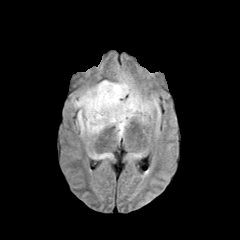
FLAIR MR image.
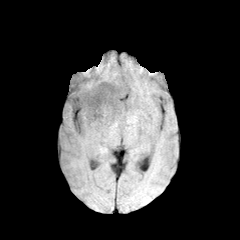
Same slice, T1-weighted MR image.
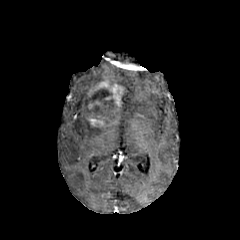
Post-contrast T1-weighted MR.
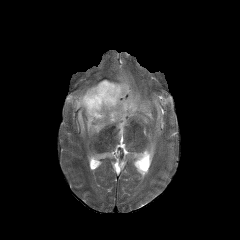
Same slice, T2-weighted magnetic resonance.
240x240 | Axial plane | Brain
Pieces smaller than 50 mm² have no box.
{"peritumoral_edema": ["bbox(93, 154, 109, 158)", "bbox(109, 71, 160, 139)", "bbox(72, 85, 105, 136)"], "necrotic_tumor_core": ["bbox(85, 89, 118, 121)"], "enhancing_tumor": ["bbox(88, 101, 102, 109)", "bbox(82, 80, 124, 127)"]}